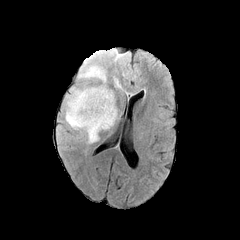
FLAIR magnetic resonance.
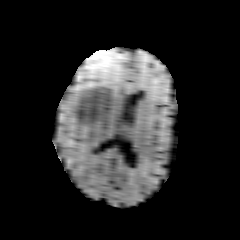
T1-weighted MR.
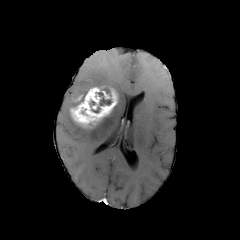
Post-contrast T1-weighted MRI of the same slice.
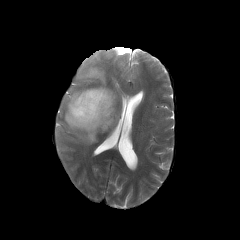
T2-weighted magnetic resonance.
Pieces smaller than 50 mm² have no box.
The largest necrotic tumor core region is bounded by x1=100, y1=98, x2=110, y2=105. The enhancing tumor is at x1=70, y1=85, x2=118, y2=128. 2 peritumoral edema regions appear at x1=65, y1=87, x2=117, y2=143; x1=77, y1=66, x2=106, y2=84.